FLAIR magnetic resonance.
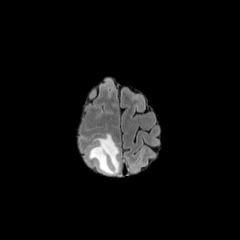
T1-weighted MR image.
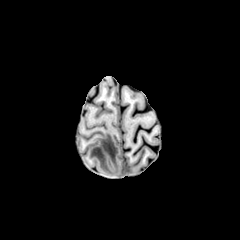
Post-contrast T1-weighted MR.
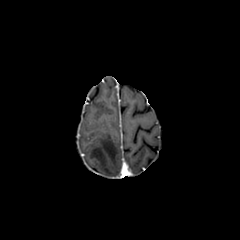
T2-weighted MR image.
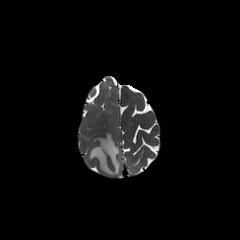
Axial plane. Head.
peritumoral edema = bbox(88, 133, 119, 174)